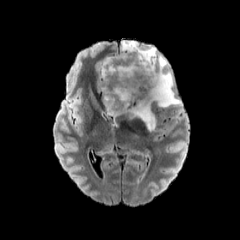
FLAIR MR image.
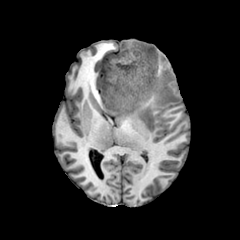
Same slice, T1-weighted MRI.
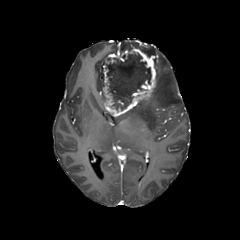
Post-contrast T1-weighted MRI.
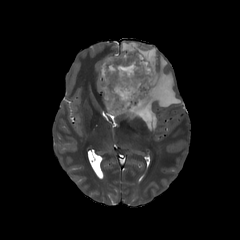
T2-weighted MR.
Brain | Axial plane
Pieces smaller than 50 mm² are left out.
The largest enhancing tumor region lies within bbox(102, 47, 156, 116). The necrotic tumor core lies within bbox(106, 54, 151, 109). The 2 largest peritumoral edema regions are located at bbox(127, 55, 180, 130); bbox(121, 41, 156, 67).